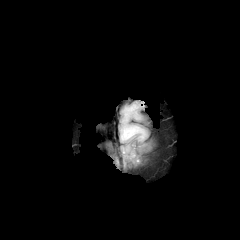
FLAIR MR.
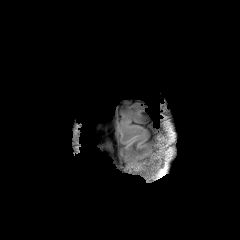
Same slice, T1-weighted MR.
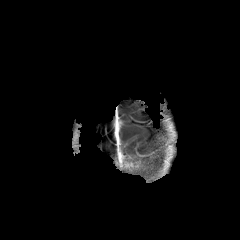
Post-contrast T1-weighted MR image of the same slice.
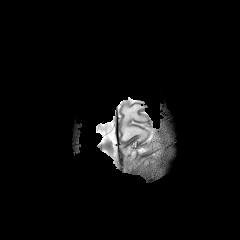
Same slice, T2-weighted magnetic resonance.
Axial view | Head
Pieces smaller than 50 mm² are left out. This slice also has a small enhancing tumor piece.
<segmentation>
  <peritumoral_edema>122 105 145 140</peritumoral_edema>
</segmentation>